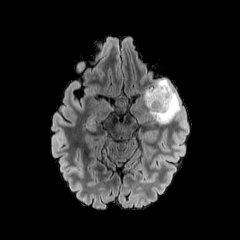
FLAIR MR.
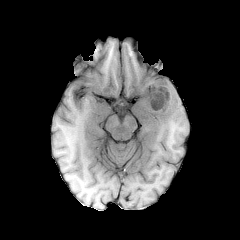
T1-weighted magnetic resonance.
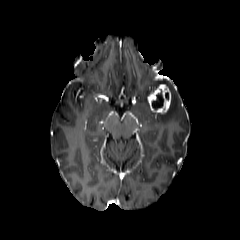
Post-contrast T1-weighted magnetic resonance.
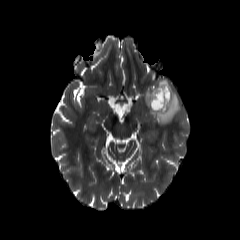
T2-weighted MR image.
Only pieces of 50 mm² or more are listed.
The enhancing tumor is bounded by (147,84,171,113). The largest necrotic tumor core region is located at (152,91,163,109). The peritumoral edema is bounded by (144,78,181,124).